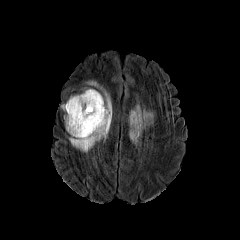
FLAIR MRI.
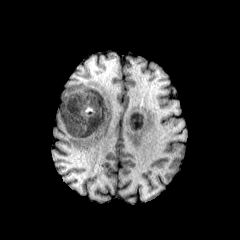
T1-weighted MRI.
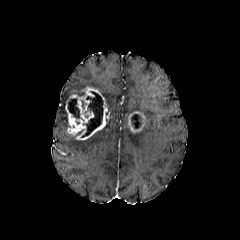
Post-contrast T1-weighted magnetic resonance.
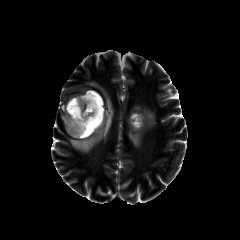
T2-weighted magnetic resonance.
Axial slice | 240x240 px
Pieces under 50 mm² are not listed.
{
  "enhancing_tumor": [
    "65:87:109:140",
    "128:111:147:133"
  ],
  "necrotic_tumor_core": [
    "81:91:103:137",
    "67:99:79:118",
    "131:114:140:128"
  ],
  "peritumoral_edema": [
    "130:104:154:126",
    "129:131:141:146",
    "69:80:112:152"
  ]
}